FLAIR MRI.
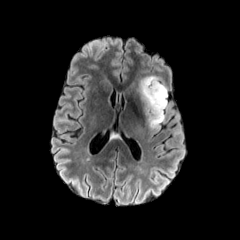
T1-weighted MRI.
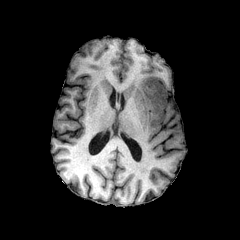
Post-contrast T1-weighted magnetic resonance.
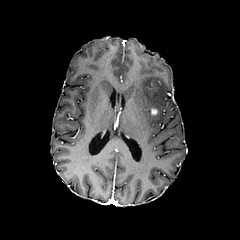
T2-weighted MRI.
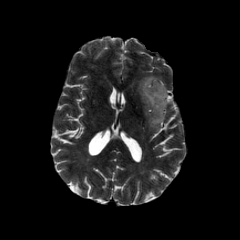
Axial plane, Head
peritumoral_edema:
  - {"x1": 138, "y1": 75, "x2": 167, "y2": 130}
enhancing_tumor:
  - {"x1": 151, "y1": 107, "x2": 158, "y2": 115}